240x240; Axial plane; Image width 240 mm, 1.00 mm slice spacing; Slice 56/155
FLAIR MR.
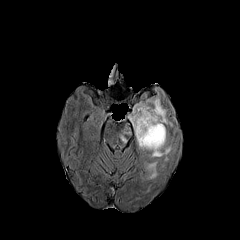
T1-weighted magnetic resonance.
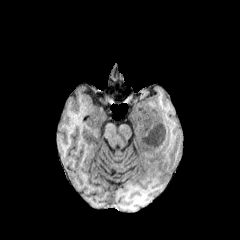
Post-contrast T1-weighted magnetic resonance.
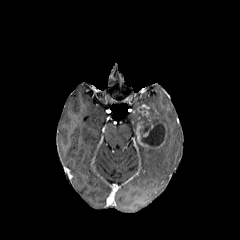
T2-weighted MR image.
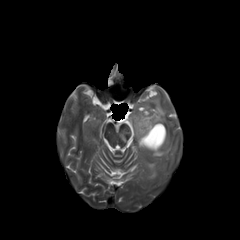
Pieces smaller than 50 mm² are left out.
The necrotic tumor core is located at x1=137, y1=108, x2=165, y2=147. The largest enhancing tumor region is bounded by x1=136, y1=123, x2=164, y2=148. The 5 largest peritumoral edema regions appear at x1=137, y1=138, x2=171, y2=157; x1=145, y1=161, x2=158, y2=179; x1=120, y1=123, x2=131, y2=143; x1=145, y1=96, x2=172, y2=126; x1=129, y1=102, x2=142, y2=132.